FLAIR MR image.
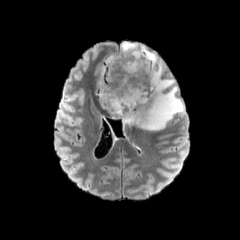
T1-weighted magnetic resonance.
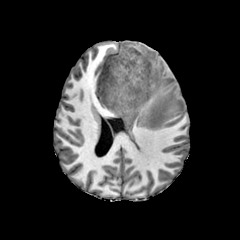
Post-contrast T1-weighted MRI.
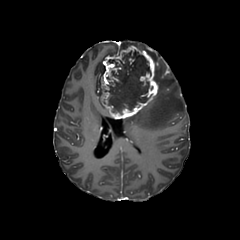
T2-weighted MR image.
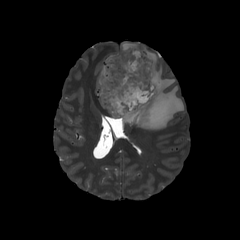
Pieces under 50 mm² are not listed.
{
  "enhancing_tumor": [
    "left=100, top=45, right=158, bottom=118"
  ],
  "peritumoral_edema": [
    "left=121, top=42, right=184, bottom=130"
  ],
  "necrotic_tumor_core": [
    "left=108, top=50, right=150, bottom=113"
  ]
}